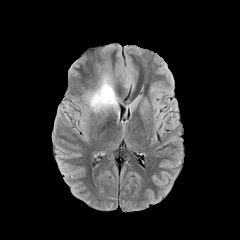
FLAIR MRI.
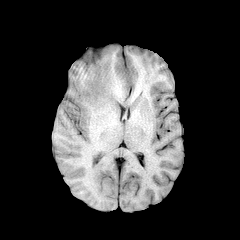
Same slice, T1-weighted magnetic resonance.
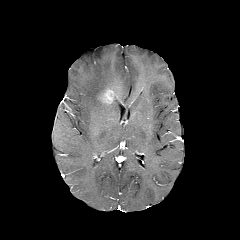
Post-contrast T1-weighted MR.
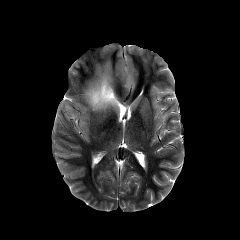
T2-weighted MRI of the same slice.
240x240, Axial slice, Brain
The peritumoral edema appears at [86, 73, 117, 111]. The enhancing tumor appears at [100, 89, 113, 103].